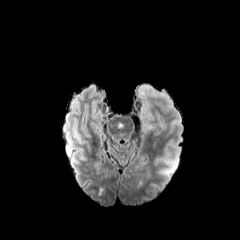
FLAIR MR image.
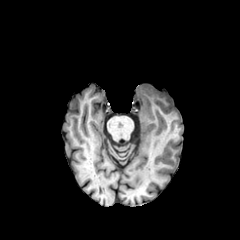
T1-weighted MR image of the same slice.
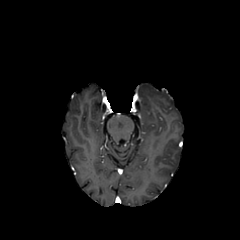
Post-contrast T1-weighted MR.
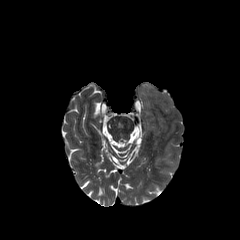
T2-weighted MRI.
Axial plane, Head
The peritumoral edema appears at (135, 83, 173, 121).